FLAIR MR.
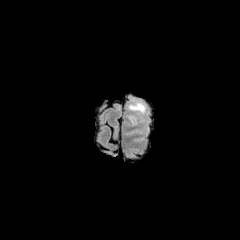
T1-weighted MRI.
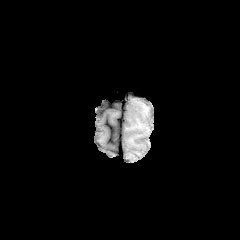
Post-contrast T1-weighted magnetic resonance.
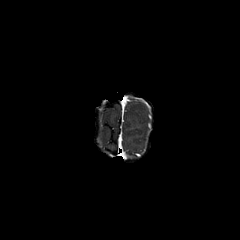
T2-weighted MR.
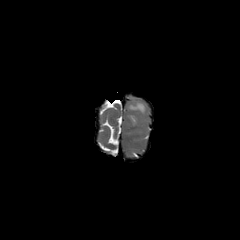
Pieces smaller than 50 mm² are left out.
{
  "peritumoral_edema": [
    "[129,103,145,112]"
  ]
}